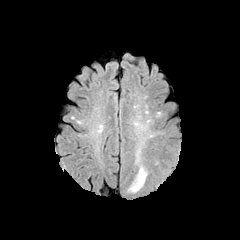
FLAIR MR.
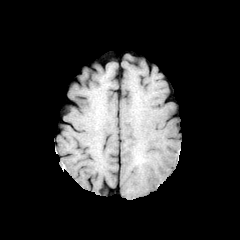
T1-weighted MRI.
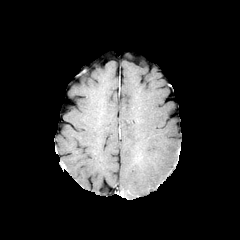
Post-contrast T1-weighted MRI.
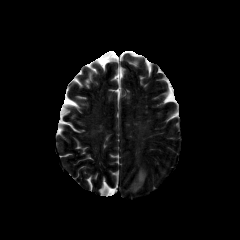
Same slice, T2-weighted MR image.
Head; 240x240 px; Axial plane
The peritumoral edema is at {"x1": 129, "y1": 166, "x2": 147, "y2": 192}.